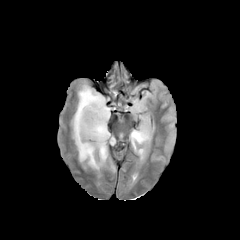
FLAIR MR.
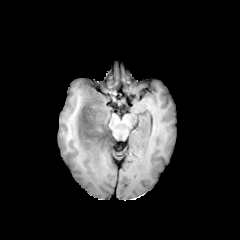
T1-weighted MR image.
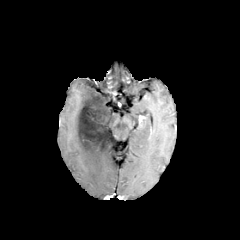
Post-contrast T1-weighted MRI of the same slice.
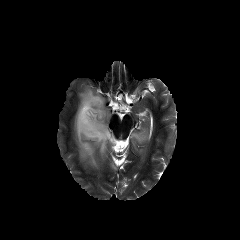
Same slice, T2-weighted MR image.
Axial plane
necrotic_tumor_core:
  - [78,93,110,146]
peritumoral_edema:
  - [73,86,115,169]
  - [130,129,149,154]